FLAIR MR.
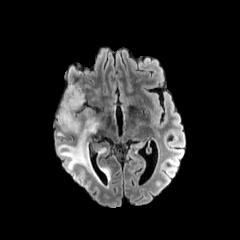
T1-weighted MRI.
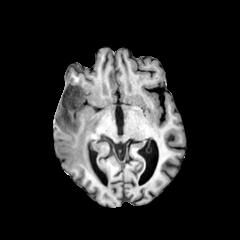
Post-contrast T1-weighted MRI.
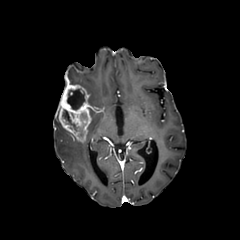
T2-weighted MR.
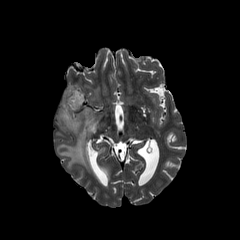
Axial view
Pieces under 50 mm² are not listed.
Annotated regions:
- peritumoral edema: bbox=[87, 117, 99, 135]; bbox=[100, 167, 109, 177]; bbox=[58, 142, 97, 178]
- enhancing tumor: bbox=[58, 83, 91, 142]
- necrotic tumor core: bbox=[62, 110, 76, 131]; bbox=[67, 89, 84, 109]